FLAIR MR.
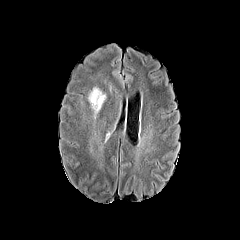
T1-weighted MR.
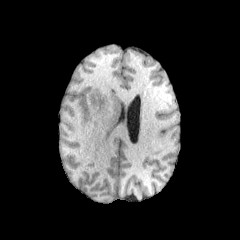
Post-contrast T1-weighted MR image.
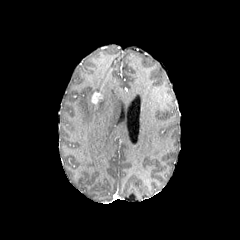
T2-weighted MRI.
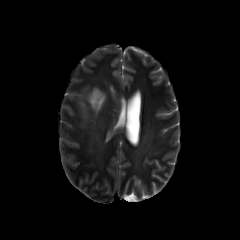
Head
• enhancing tumor: {"x1": 91, "y1": 91, "x2": 103, "y2": 104}
• peritumoral edema: {"x1": 88, "y1": 87, "x2": 105, "y2": 118}